FLAIR magnetic resonance.
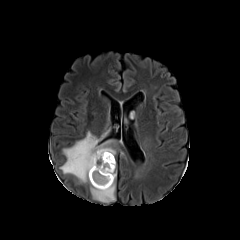
T1-weighted MR.
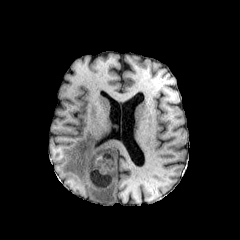
Post-contrast T1-weighted magnetic resonance.
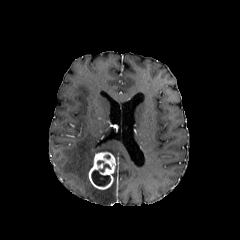
T2-weighted MR image.
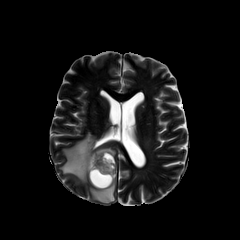
Head
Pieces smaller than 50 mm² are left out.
The largest necrotic tumor core region is bounded by 91:170:110:186. 2 peritumoral edema regions appear at 60:131:123:183, 90:172:116:203. The enhancing tumor appears at 88:152:115:189.